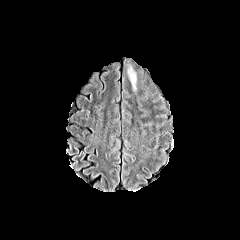
FLAIR MRI.
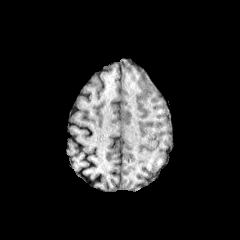
T1-weighted MRI.
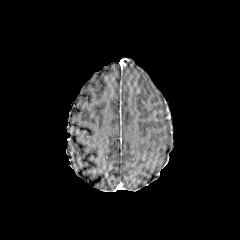
Post-contrast T1-weighted MR.
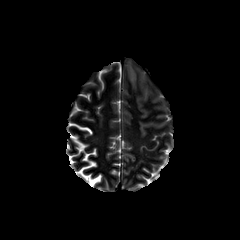
T2-weighted MR image.
Head.
{"peritumoral_edema": ["x1=127 y1=66 x2=136 y2=91"]}